FLAIR MR.
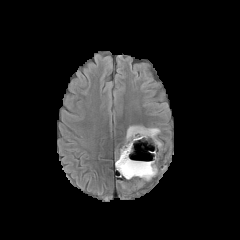
T1-weighted MR image.
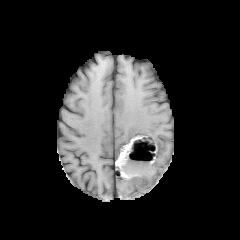
Post-contrast T1-weighted magnetic resonance.
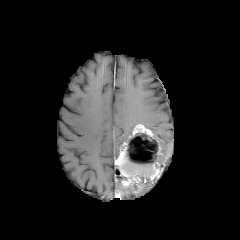
T2-weighted MR image.
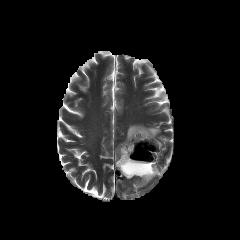
Head, Axial slice, Image size 240x240
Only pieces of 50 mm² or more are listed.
• peritumoral edema: box=[126, 125, 135, 141]; box=[147, 127, 160, 136]
• necrotic tumor core: box=[122, 133, 158, 183]
• enhancing tumor: box=[128, 124, 161, 154]; box=[144, 162, 160, 182]; box=[115, 142, 143, 187]